Image width 240 mm; Brain; Image size 240x240; Slice index 98
FLAIR MR image.
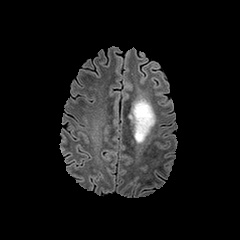
T1-weighted MR.
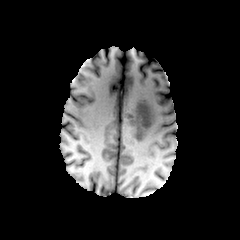
Post-contrast T1-weighted MR.
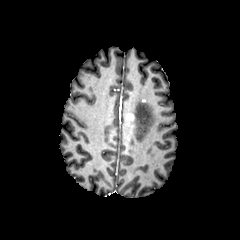
T2-weighted MR image.
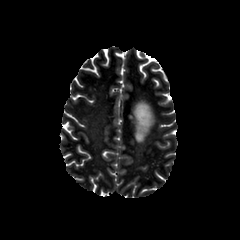
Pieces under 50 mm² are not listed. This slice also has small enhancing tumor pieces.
The peritumoral edema is bounded by left=129, top=99, right=153, bottom=142.